Head; Axial slice; Image covers 240 mm x 240 mm
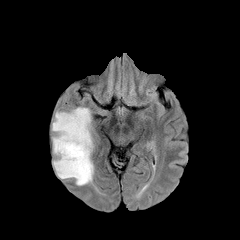
FLAIR MR image.
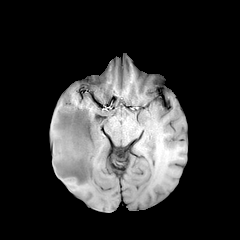
T1-weighted MRI.
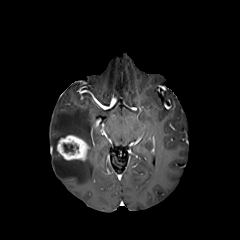
Post-contrast T1-weighted magnetic resonance.
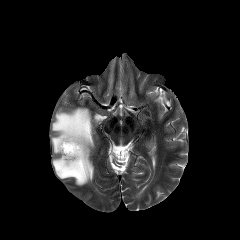
T2-weighted magnetic resonance.
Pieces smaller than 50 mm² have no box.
necrotic tumor core = l=63, t=144, r=75, b=152
peritumoral edema = l=52, t=107, r=93, b=185
enhancing tumor = l=56, t=135, r=89, b=160